FLAIR MR.
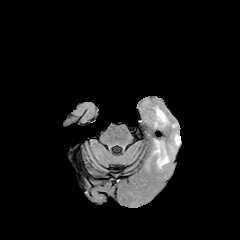
T1-weighted magnetic resonance.
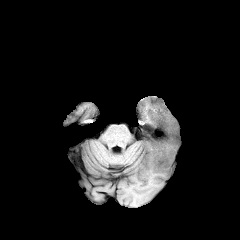
Post-contrast T1-weighted MR image.
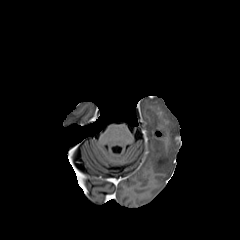
T2-weighted magnetic resonance.
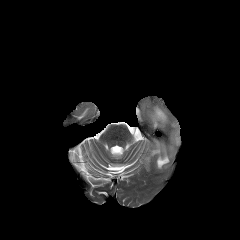
Head
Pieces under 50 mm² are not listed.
The 3 largest peritumoral edema regions are located at 152, 140, 174, 169; 153, 106, 168, 128; 172, 131, 181, 146. The largest enhancing tumor region lies within 158, 112, 166, 126.